Head.
FLAIR MR.
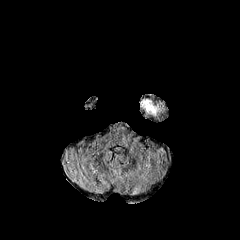
T1-weighted magnetic resonance.
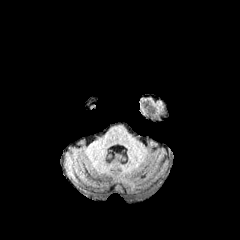
Post-contrast T1-weighted magnetic resonance.
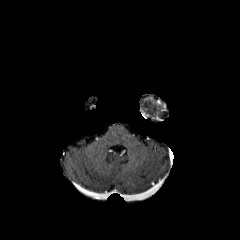
T2-weighted MRI.
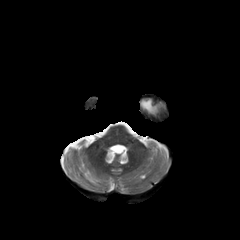
The peritumoral edema appears at <bbox>141, 98, 158, 114</bbox>.